FLAIR MRI.
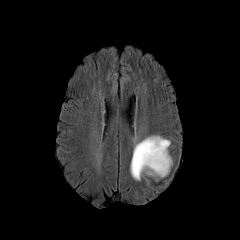
T1-weighted MR image.
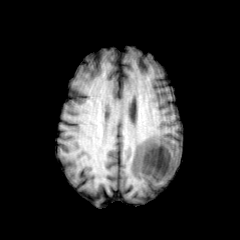
Post-contrast T1-weighted MRI.
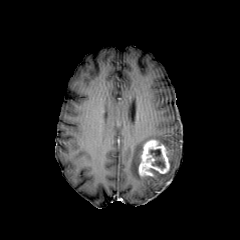
T2-weighted magnetic resonance.
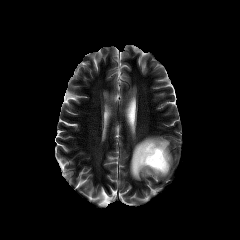
240x240 px. Axial view. Head.
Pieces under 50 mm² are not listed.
The 2 largest peritumoral edema regions are located at (130, 135, 170, 180), (153, 170, 169, 179). The necrotic tumor core is at (150, 149, 164, 168). The enhancing tumor is at (138, 139, 169, 177).